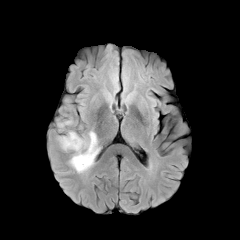
FLAIR MR image.
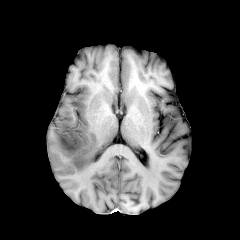
T1-weighted MR image.
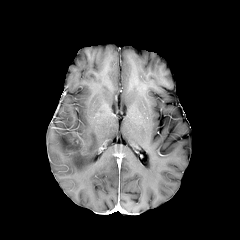
Post-contrast T1-weighted MR image.
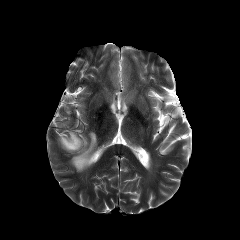
T2-weighted MR image of the same slice.
Head.
peritumoral_edema:
  - (x1=58, y1=121, x2=71, y2=127)
  - (x1=58, y1=130, x2=99, y2=172)
enhancing_tumor:
  - (x1=71, y1=134, x2=84, y2=145)